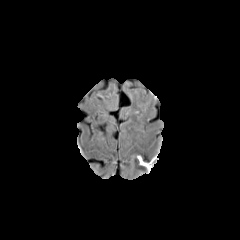
FLAIR MR.
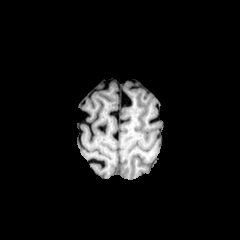
T1-weighted magnetic resonance.
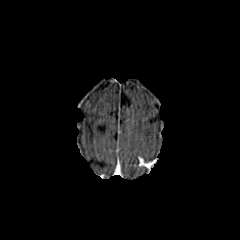
Same slice, post-contrast T1-weighted MR.
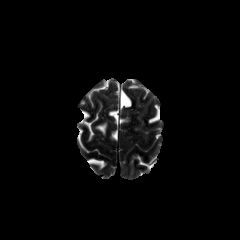
T2-weighted MR.
Head, 240x240 px
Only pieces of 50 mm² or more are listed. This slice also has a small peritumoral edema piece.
The enhancing tumor is bounded by <box>138,157,155,169</box>.